FLAIR MRI.
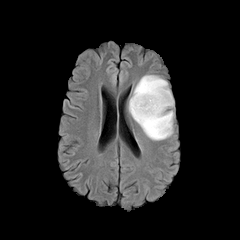
T1-weighted MRI.
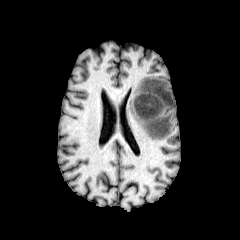
Post-contrast T1-weighted MRI.
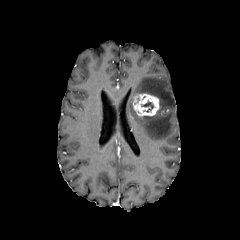
T2-weighted MRI.
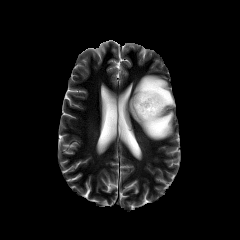
240x240. Head. Axial view.
necrotic tumor core: (141,101,153,111)
peritumoral edema: (129,75,174,140)
enhancing tumor: (133,93,160,116)